FLAIR magnetic resonance.
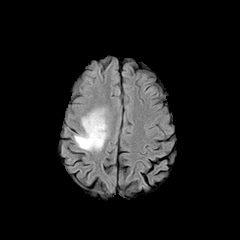
T1-weighted MR image.
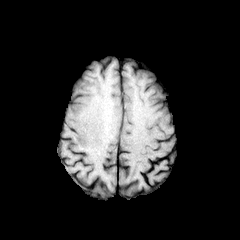
Post-contrast T1-weighted MRI.
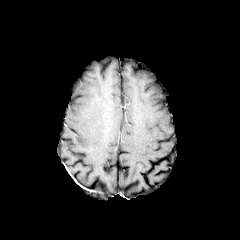
T2-weighted MR image.
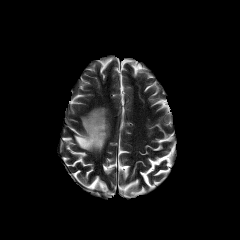
Axial plane, Image size 240x240, Brain
The peritumoral edema appears at 74:108:107:151.